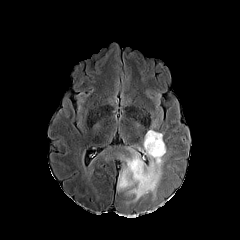
FLAIR MRI.
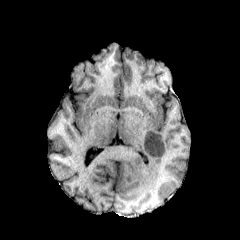
T1-weighted MR image.
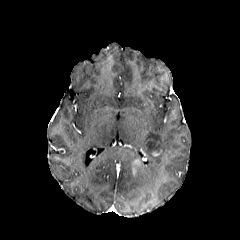
Post-contrast T1-weighted MR image of the same slice.
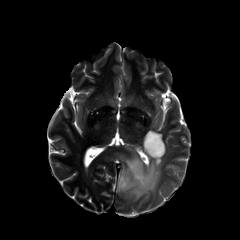
T2-weighted MR image of the same slice.
240x240; Brain
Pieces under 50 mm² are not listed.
<segmentation>
  <enhancing_tumor>l=132, t=159, r=141, b=175</enhancing_tumor>
  <peritumoral_edema>l=117, t=129, r=166, b=200</peritumoral_edema>
  <necrotic_tumor_core>l=146, t=137, r=162, b=154</necrotic_tumor_core>
</segmentation>